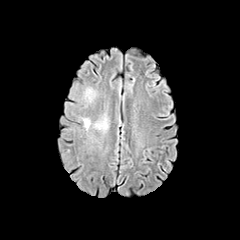
FLAIR magnetic resonance.
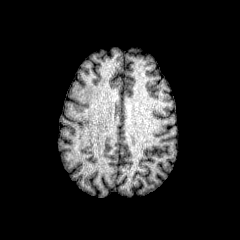
T1-weighted MR image.
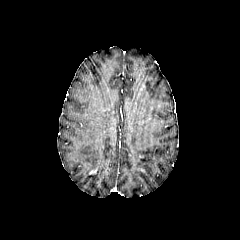
Post-contrast T1-weighted MR image of the same slice.
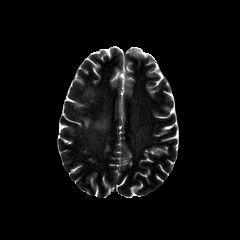
T2-weighted MR image.
Head
<segmentation>
  <peritumoral_edema>93 116 108 131, 81 118 91 129, 84 88 96 101</peritumoral_edema>
</segmentation>